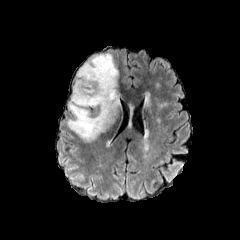
FLAIR MR.
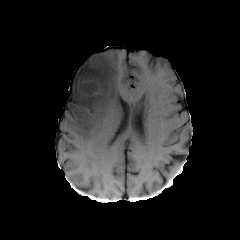
T1-weighted magnetic resonance of the same slice.
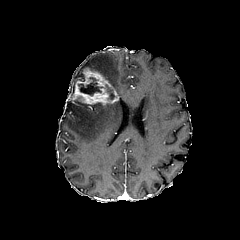
Post-contrast T1-weighted MR.
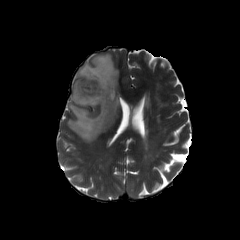
T2-weighted magnetic resonance.
Axial view.
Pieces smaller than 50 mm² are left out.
enhancing tumor — (72, 67, 118, 105)
necrotic tumor core — (78, 77, 101, 95)
peritumoral edema — (67, 53, 120, 141)